Brain, Image width 240 mm, Slice 52/155
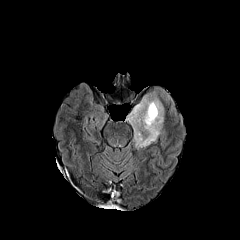
FLAIR MR image.
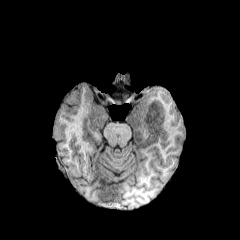
Same slice, T1-weighted MRI.
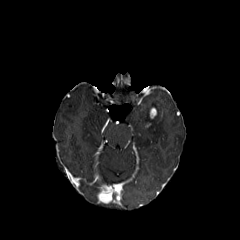
Post-contrast T1-weighted MRI.
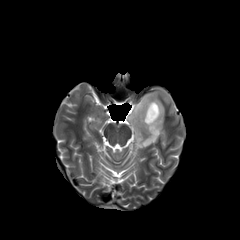
T2-weighted MR image of the same slice.
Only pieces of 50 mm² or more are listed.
peritumoral edema at 127:93:163:147
enhancing tumor at 149:107:157:118